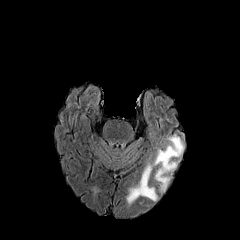
FLAIR MR.
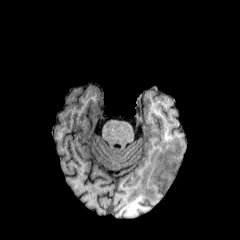
T1-weighted MRI.
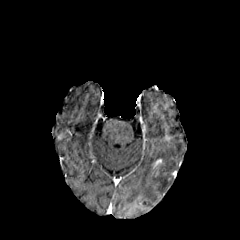
Same slice, post-contrast T1-weighted MR.
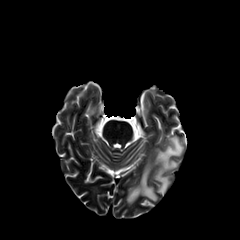
T2-weighted magnetic resonance.
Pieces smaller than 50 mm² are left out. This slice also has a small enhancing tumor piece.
peritumoral edema: (126,135,184,203)